FLAIR MR.
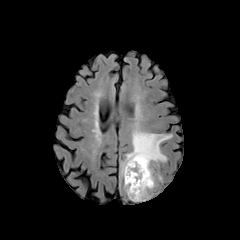
T1-weighted magnetic resonance.
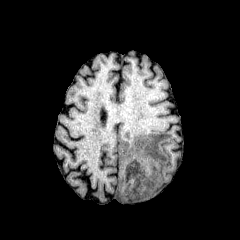
Post-contrast T1-weighted MR.
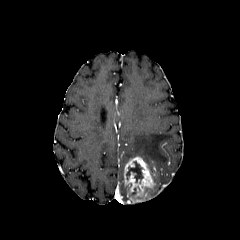
T2-weighted MRI.
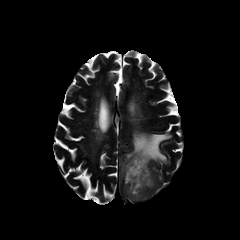
Head. Axial view.
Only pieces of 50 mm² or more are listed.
necrotic tumor core at <box>126,161,143,182</box>
peritumoral edema at <box>120,129,172,177</box>
enhancing tumor at <box>124,156,155,202</box>